FLAIR MR image.
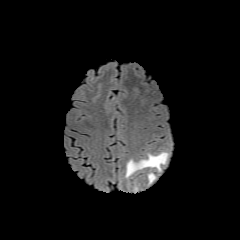
T1-weighted MR.
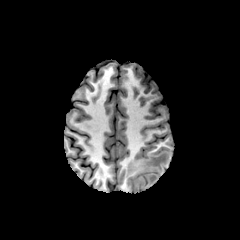
Post-contrast T1-weighted MR.
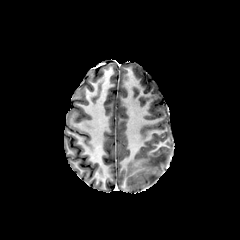
T2-weighted MR.
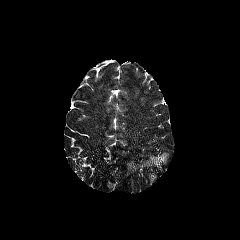
240x240, Axial view, Brain
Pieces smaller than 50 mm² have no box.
peritumoral_edema:
  - bbox(125, 152, 169, 184)